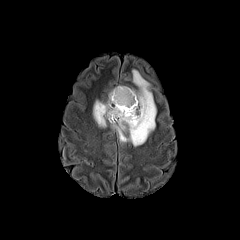
FLAIR MRI.
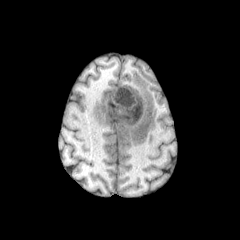
T1-weighted MR image.
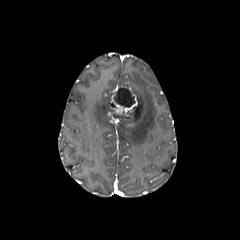
Post-contrast T1-weighted MRI.
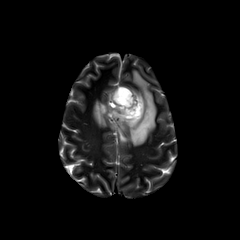
Same slice, T2-weighted magnetic resonance.
240x240 | Head
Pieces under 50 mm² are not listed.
2 peritumoral edema regions are located at [111, 70, 156, 146], [93, 92, 112, 127]. The 2 largest necrotic tumor core regions are located at [127, 106, 137, 118], [113, 87, 135, 122]. The 2 largest enhancing tumor regions appear at [124, 87, 137, 119], [107, 87, 122, 123].